Axial plane | Head
FLAIR MR image.
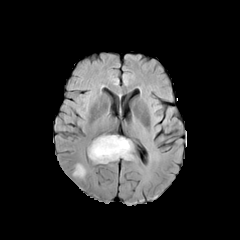
T1-weighted MR.
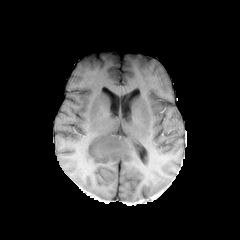
Post-contrast T1-weighted magnetic resonance.
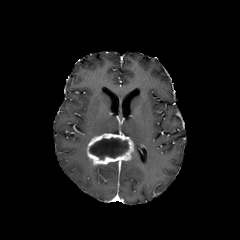
T2-weighted magnetic resonance.
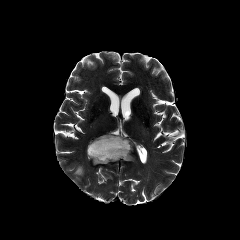
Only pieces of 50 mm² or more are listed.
Segmented structures:
• enhancing tumor: [x1=87, y1=133, x2=133, y2=164]
• peritumoral edema: [x1=73, y1=164, x2=84, y2=177]
• necrotic tumor core: [x1=89, y1=138, x2=128, y2=159]